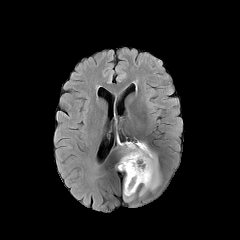
FLAIR MR image.
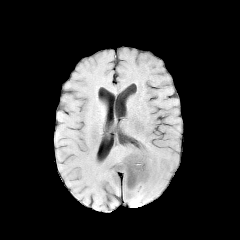
T1-weighted MRI.
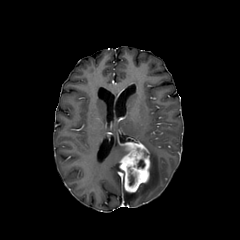
Post-contrast T1-weighted MR image.
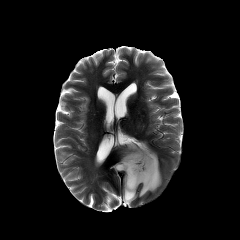
T2-weighted magnetic resonance.
Axial slice. Brain. 240x240 px.
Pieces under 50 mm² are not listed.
Annotated regions:
* enhancing tumor: (x1=119, y1=141, x2=150, y2=192)
* necrotic tumor core: (x1=129, y1=174, x2=134, y2=185)
* peritumoral edema: (x1=139, y1=142, x2=161, y2=196), (x1=123, y1=188, x2=135, y2=202)